FLAIR magnetic resonance.
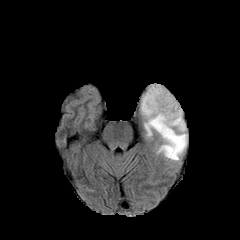
T1-weighted MRI.
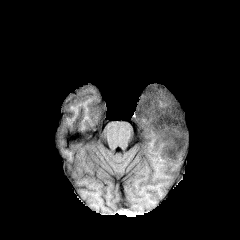
Post-contrast T1-weighted MR image.
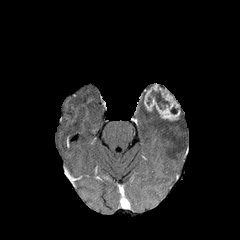
T2-weighted MRI.
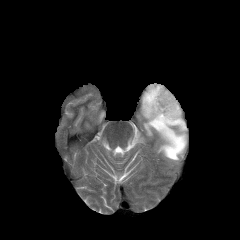
240x240 | Brain
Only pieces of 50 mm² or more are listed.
necrotic tumor core: <bbox>151, 90, 169, 108</bbox> | enhancing tumor: <bbox>144, 83, 180, 120</bbox> | peritumoral edema: <bbox>140, 94, 187, 160</bbox>